FLAIR MRI.
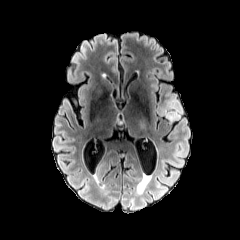
T1-weighted MR image.
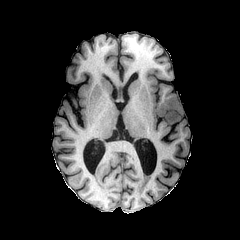
Post-contrast T1-weighted MRI.
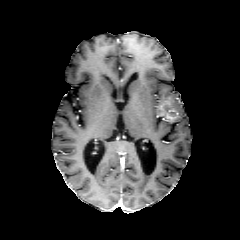
T2-weighted MR image.
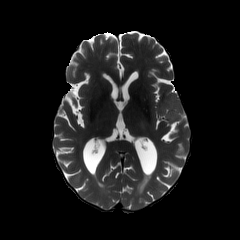
240x240 px, Head
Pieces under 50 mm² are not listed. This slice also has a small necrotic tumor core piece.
Segmented structures:
* enhancing tumor: [157, 97, 179, 121]
* peritumoral edema: [166, 94, 182, 119]